Slice index 98 | Brain | Axial slice | 240x240
FLAIR MR.
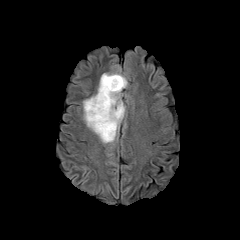
T1-weighted MR.
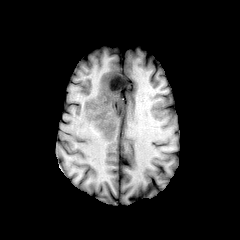
Post-contrast T1-weighted MR.
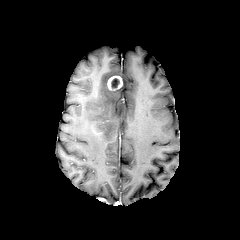
T2-weighted MRI.
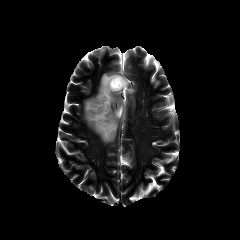
enhancing tumor: [x1=107, y1=75, x2=122, y2=91]
necrotic tumor core: [x1=111, y1=79, x2=118, y2=87]
peritumoral edema: [x1=83, y1=68, x2=127, y2=143]